Head; Axial slice; Slice 108 of 155; 240x240 px
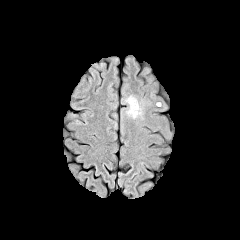
FLAIR MRI.
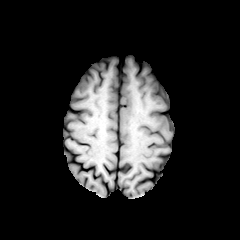
T1-weighted MR.
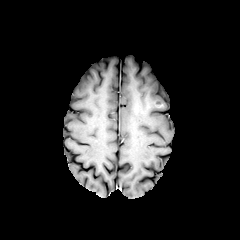
Same slice, post-contrast T1-weighted MR image.
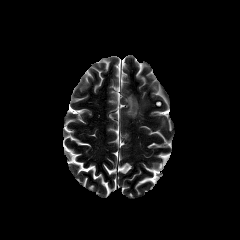
T2-weighted MR image.
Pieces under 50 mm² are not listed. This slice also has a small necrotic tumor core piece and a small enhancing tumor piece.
The peritumoral edema is located at x1=125, y1=95, x2=141, y2=118.